FLAIR MR image.
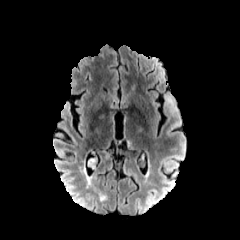
T1-weighted MR image.
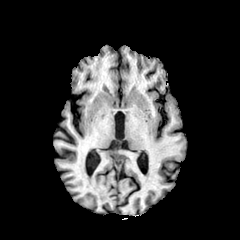
Post-contrast T1-weighted MR image.
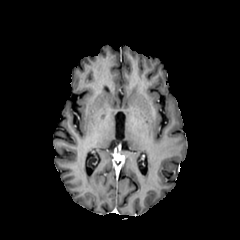
T2-weighted MRI.
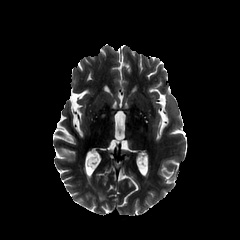
240x240
Findings:
- peritumoral edema: x1=164 y1=95 x2=176 y2=110